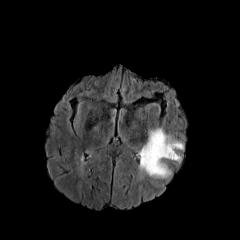
FLAIR MR.
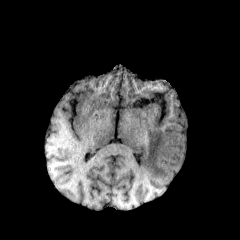
T1-weighted MRI of the same slice.
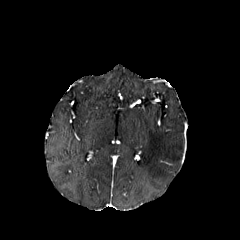
Post-contrast T1-weighted MR image.
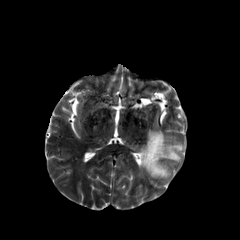
T2-weighted MRI.
Axial plane
peritumoral_edema:
  - 139, 129, 183, 178